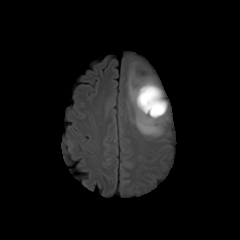
FLAIR magnetic resonance.
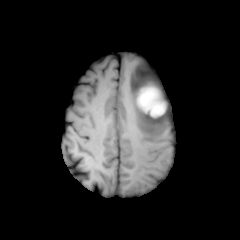
Same slice, T1-weighted MR.
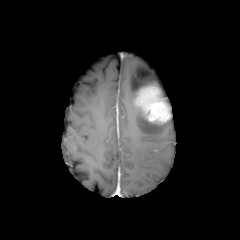
Same slice, post-contrast T1-weighted MR.
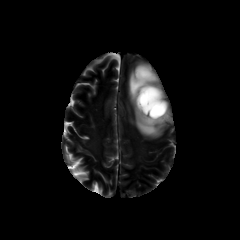
T2-weighted magnetic resonance.
Brain
The peritumoral edema appears at [x1=128, y1=63, x2=168, y2=137]. The enhancing tumor is located at [x1=135, y1=85, x2=170, y2=124].